Brain, Axial plane
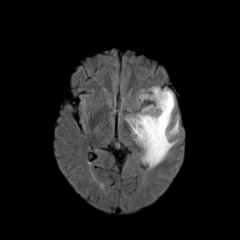
FLAIR magnetic resonance.
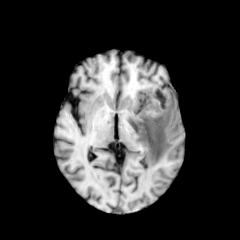
T1-weighted MRI.
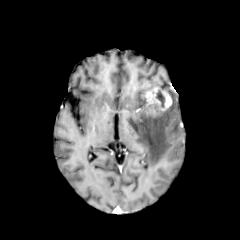
Same slice, post-contrast T1-weighted MR.
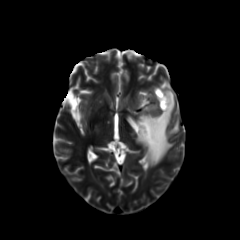
T2-weighted magnetic resonance of the same slice.
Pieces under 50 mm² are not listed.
Annotated regions:
- necrotic tumor core: [155, 90, 164, 107]
- peritumoral edema: [127, 91, 178, 166]
- enhancing tumor: [141, 87, 171, 117]